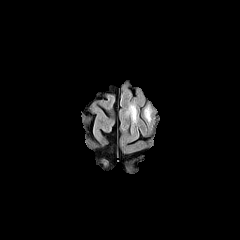
FLAIR MR image.
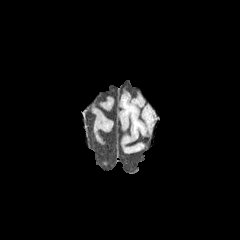
T1-weighted MR.
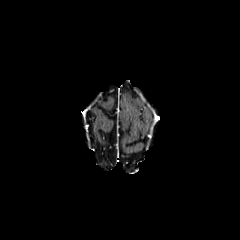
Post-contrast T1-weighted MR image.
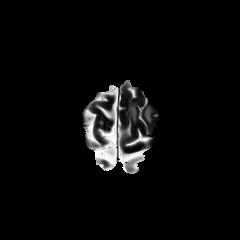
Same slice, T2-weighted MRI.
Brain | Axial slice | 240x240 px
2 peritumoral edema regions are bounded by {"x1": 128, "y1": 105, "x2": 136, "y2": 121}, {"x1": 145, "y1": 108, "x2": 150, "y2": 121}.